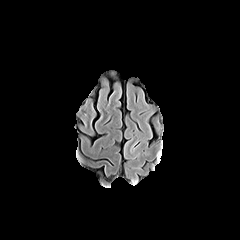
FLAIR MRI.
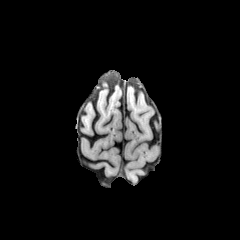
T1-weighted MR of the same slice.
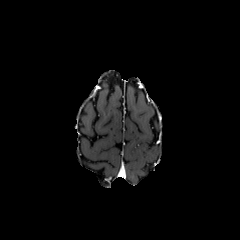
Post-contrast T1-weighted MR.
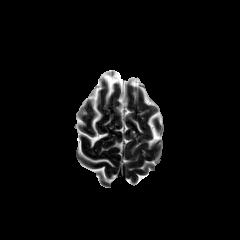
T2-weighted MRI of the same slice.
Axial plane
{"peritumoral_edema": ["<bbox>156, 150, 161, 162</bbox>"]}